Image covers 240 mm x 240 mm. Head.
FLAIR MR image.
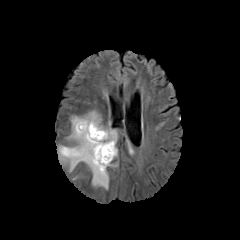
T1-weighted MR.
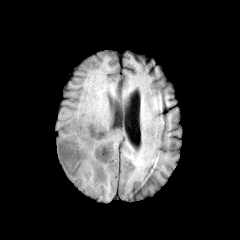
Post-contrast T1-weighted magnetic resonance.
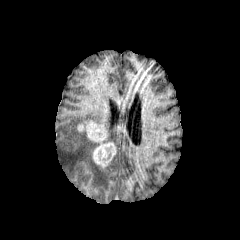
T2-weighted MR image.
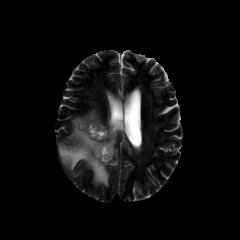
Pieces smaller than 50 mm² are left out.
enhancing tumor: rect(77, 121, 115, 168) | peritumoral edema: rect(102, 125, 117, 146); rect(58, 110, 117, 189)